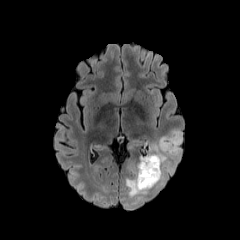
FLAIR MR image.
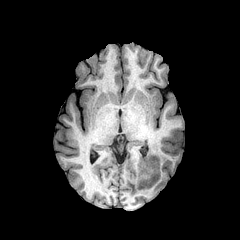
T1-weighted MR image.
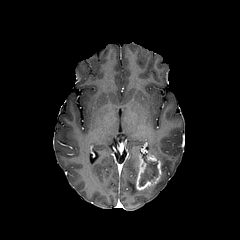
Post-contrast T1-weighted magnetic resonance.
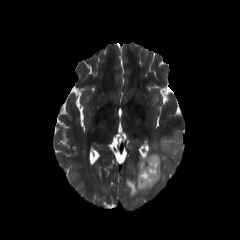
T2-weighted MR of the same slice.
Brain. 240x240 px. Axial view.
The peritumoral edema is at <box>125,129,182,197</box>. The necrotic tumor core is located at <box>139,157,158,186</box>. The enhancing tumor is at <box>136,154,161,190</box>.